Brain, Image covers 240 mm x 240 mm, Axial view, Slice 93 of 155
FLAIR MRI.
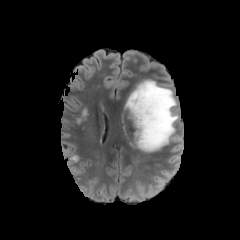
T1-weighted magnetic resonance.
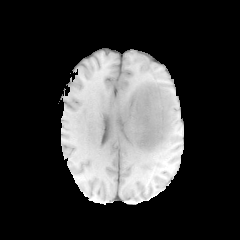
Post-contrast T1-weighted MR.
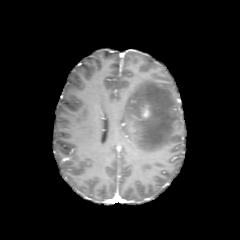
T2-weighted magnetic resonance.
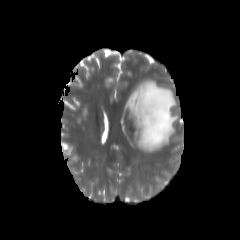
enhancing_tumor:
  - 142, 105, 149, 117
peritumoral_edema:
  - 125, 79, 177, 152